FLAIR MR image.
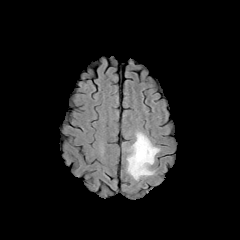
T1-weighted MR.
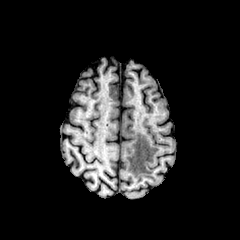
Post-contrast T1-weighted MR.
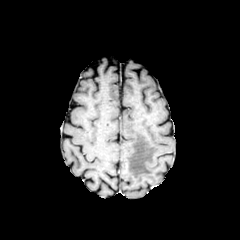
T2-weighted magnetic resonance.
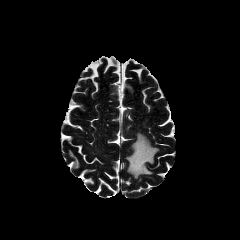
Head
peritumoral edema: bounding box (126, 131, 159, 179)